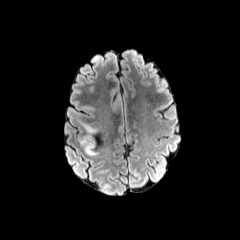
FLAIR magnetic resonance.
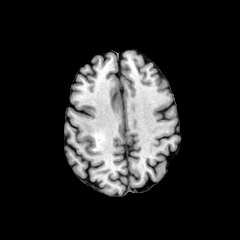
T1-weighted MRI.
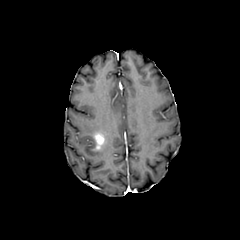
Post-contrast T1-weighted MR image.
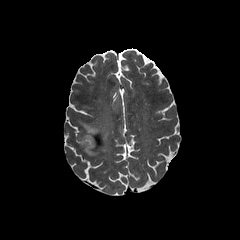
T2-weighted MR of the same slice.
Image size 240x240; Brain
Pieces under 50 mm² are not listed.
peritumoral_edema:
  - (80, 124, 97, 155)
enhancing_tumor:
  - (95, 134, 104, 143)